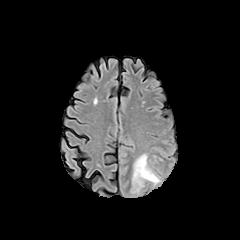
FLAIR MR.
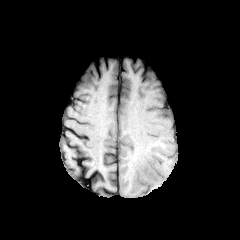
Same slice, T1-weighted MRI.
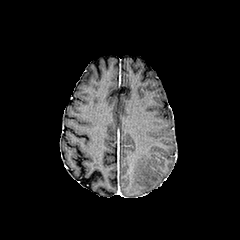
Post-contrast T1-weighted MR image.
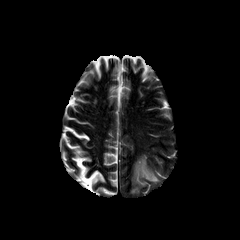
T2-weighted MR image.
<segmentation>
  <peritumoral_edema>133,154,159,185</peritumoral_edema>
</segmentation>